FLAIR MR image.
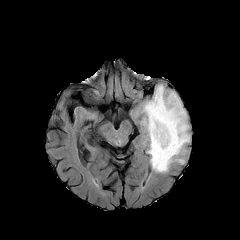
T1-weighted magnetic resonance.
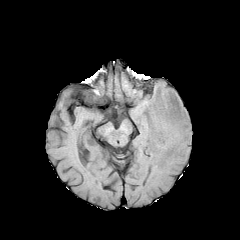
Post-contrast T1-weighted MR.
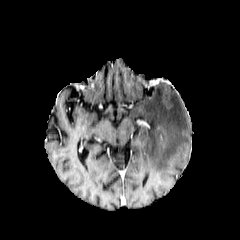
T2-weighted MRI.
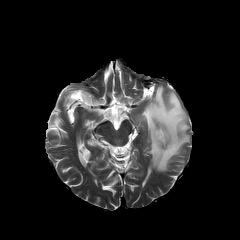
Axial view. Brain.
The peritumoral edema lies within <box>141,84,190,172</box>.